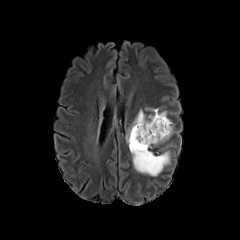
FLAIR MR.
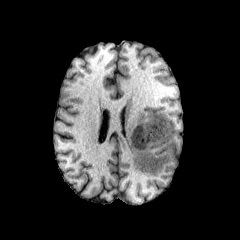
T1-weighted MRI.
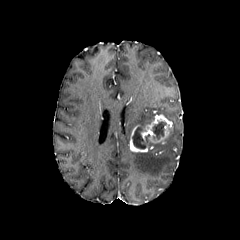
Same slice, post-contrast T1-weighted MR.
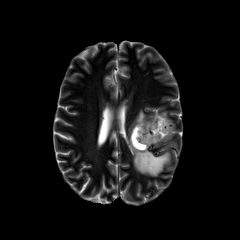
Same slice, T2-weighted MR image.
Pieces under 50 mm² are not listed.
Segmented structures:
• peritumoral edema: (126, 110, 154, 144), (130, 150, 169, 176)
• necrotic tumor core: (132, 127, 149, 148), (153, 121, 166, 139)
• enhancing tumor: (129, 114, 172, 152)